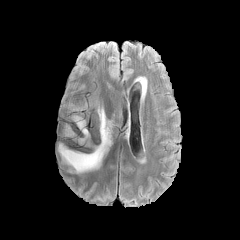
FLAIR magnetic resonance.
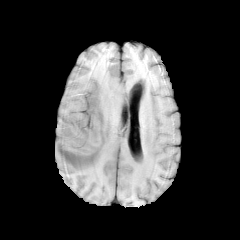
Same slice, T1-weighted MRI.
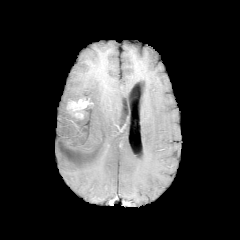
Same slice, post-contrast T1-weighted MR image.
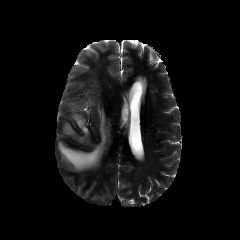
Same slice, T2-weighted magnetic resonance.
240x240 px; Head; Axial plane
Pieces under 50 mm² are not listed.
peritumoral edema — bbox(64, 124, 74, 136); bbox(72, 113, 89, 143); bbox(58, 106, 112, 172)
enhancing tumor — bbox(69, 100, 92, 110)